FLAIR MR.
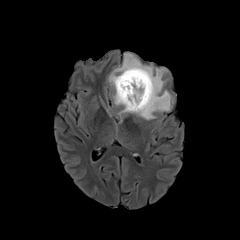
T1-weighted MRI.
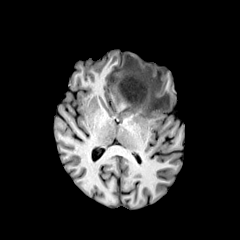
Post-contrast T1-weighted MRI.
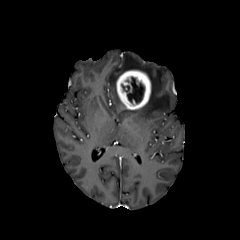
T2-weighted MRI.
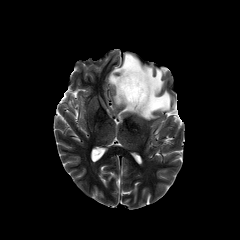
Head
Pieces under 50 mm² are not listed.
Findings:
• enhancing tumor: bbox=[116, 70, 151, 109]
• necrotic tumor core: bbox=[121, 77, 144, 103]
• peritumoral edema: bbox=[108, 53, 173, 119]